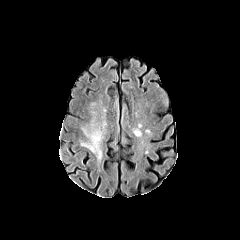
FLAIR MR.
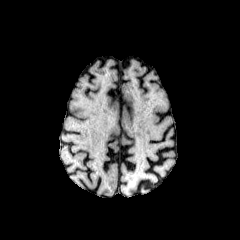
T1-weighted MRI of the same slice.
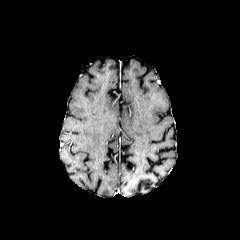
Same slice, post-contrast T1-weighted magnetic resonance.
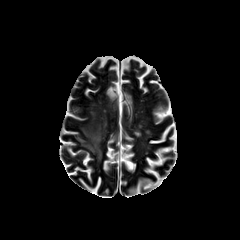
T2-weighted MR.
Axial view | 240x240
peritumoral edema: (x1=82, y1=128, x2=101, y2=159)